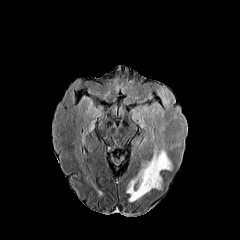
FLAIR magnetic resonance.
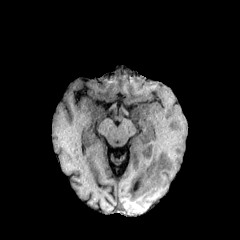
Same slice, T1-weighted MR image.
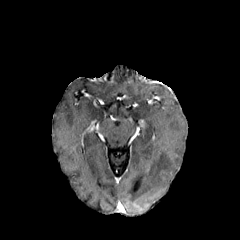
Post-contrast T1-weighted MR image.
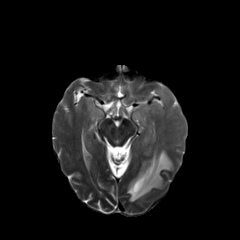
Same slice, T2-weighted MR.
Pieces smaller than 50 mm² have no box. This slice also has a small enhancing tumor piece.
2 peritumoral edema regions are located at box(127, 149, 172, 201); box(133, 87, 183, 147).